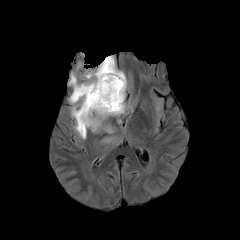
FLAIR MR image.
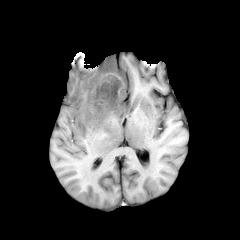
T1-weighted MRI of the same slice.
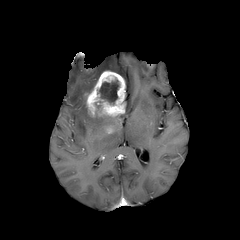
Post-contrast T1-weighted magnetic resonance.
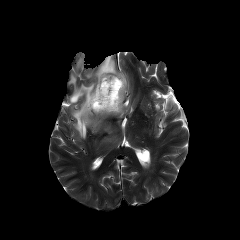
T2-weighted MR.
Head
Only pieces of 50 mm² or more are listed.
necrotic tumor core at <box>93,78,119,110</box>
enhancing tumor at <box>105,126,113,133</box>, <box>84,70,126,117</box>
peritumoral edema at <box>68,55,126,139</box>